FLAIR MR.
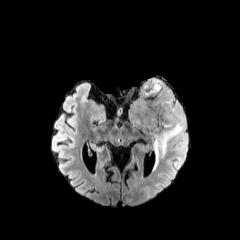
T1-weighted MRI.
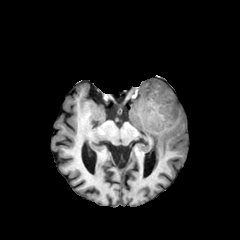
Post-contrast T1-weighted MR.
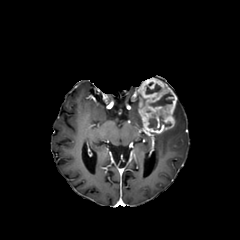
T2-weighted MR.
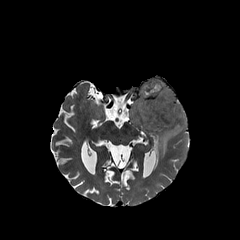
Axial slice
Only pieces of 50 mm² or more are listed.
The enhancing tumor is located at [x1=138, y1=77, x2=176, y2=134]. The largest peritumoral edema region appears at [x1=154, y1=101, x2=186, y2=167]. The 4 largest necrotic tumor core regions appear at [x1=146, y1=84, x2=161, y2=94], [x1=148, y1=114, x2=157, y2=129], [x1=149, y1=92, x2=172, y2=106], [x1=158, y1=115, x2=170, y2=129].